Axial slice | 240x240 | Image covers 240 mm x 240 mm
FLAIR MR image.
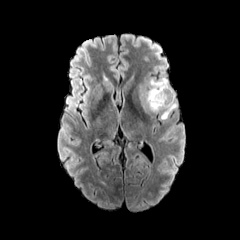
T1-weighted magnetic resonance.
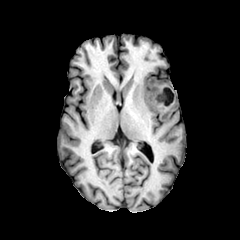
Post-contrast T1-weighted MR.
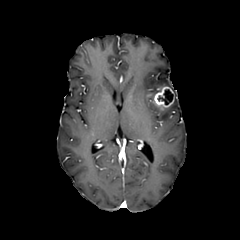
T2-weighted MR.
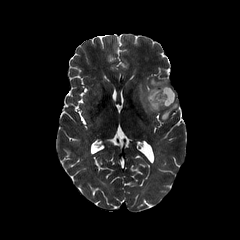
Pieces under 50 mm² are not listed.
* necrotic tumor core: [156, 89, 173, 104]
* enhancing tumor: [147, 86, 174, 108]
* peritumoral edema: [137, 78, 168, 113], [161, 95, 176, 119]